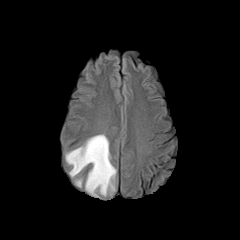
FLAIR magnetic resonance.
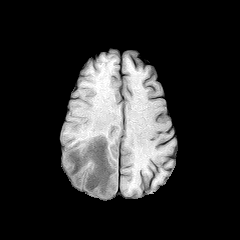
T1-weighted magnetic resonance.
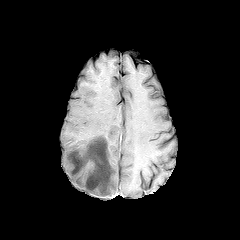
Post-contrast T1-weighted MR.
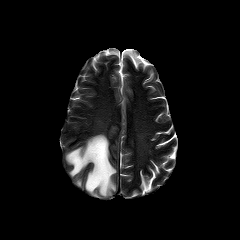
T2-weighted magnetic resonance.
Head
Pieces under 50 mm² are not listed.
peritumoral_edema:
  - (65,134,116,196)